Slice index 38. Image size 240x240.
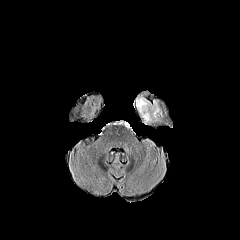
FLAIR MR.
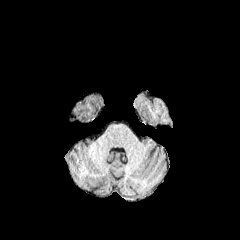
T1-weighted magnetic resonance of the same slice.
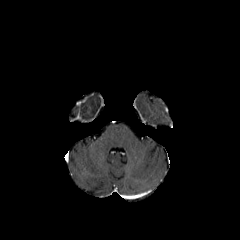
Same slice, post-contrast T1-weighted MR.
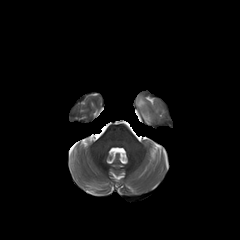
T2-weighted MRI of the same slice.
The peritumoral edema appears at 136 95 162 123.